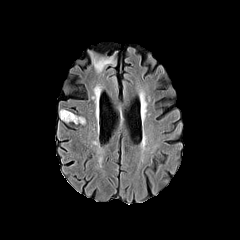
FLAIR MR image.
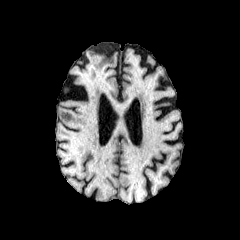
T1-weighted MRI.
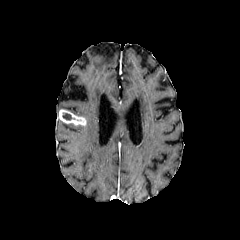
Same slice, post-contrast T1-weighted MRI.
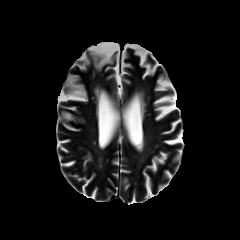
T2-weighted magnetic resonance.
Brain
necrotic tumor core: bounding box x1=62 y1=112 x2=81 y2=120
enhancing tumor: bounding box x1=58 y1=109 x2=86 y2=125